Image size 240x240, Head, Axial view
FLAIR MR.
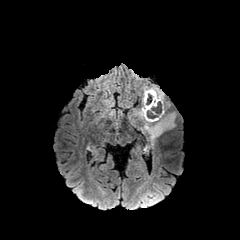
T1-weighted MR.
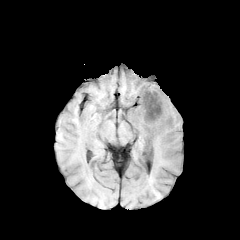
Post-contrast T1-weighted MR.
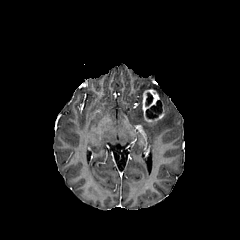
T2-weighted MR.
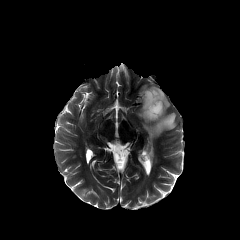
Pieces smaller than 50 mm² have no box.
Segmented structures:
• necrotic tumor core: l=146, t=92, r=152, b=105; l=152, t=100, r=161, b=113; l=146, t=109, r=157, b=119
• peritumoral edema: l=134, t=85, r=175, b=142
• enhancing tumor: l=142, t=89, r=164, b=122